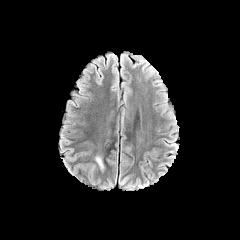
FLAIR MR.
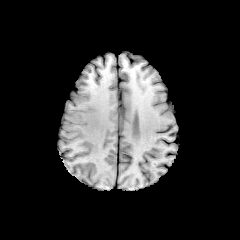
Same slice, T1-weighted MR.
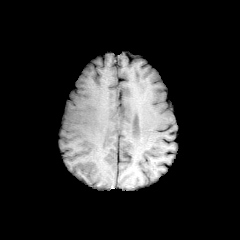
Post-contrast T1-weighted MR image of the same slice.
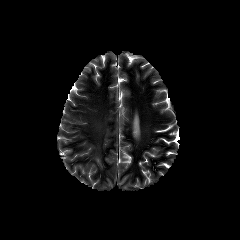
Same slice, T2-weighted magnetic resonance.
Axial view; Brain
peritumoral edema: 95 153 105 172